FLAIR MR.
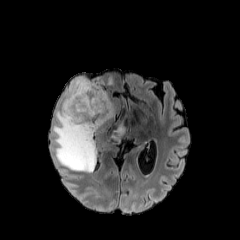
T1-weighted MR image.
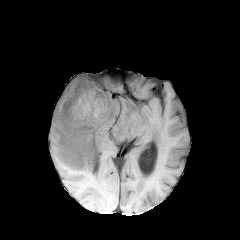
Post-contrast T1-weighted MR.
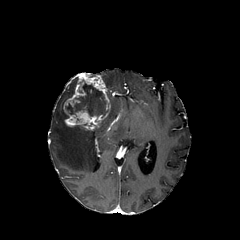
T2-weighted MR.
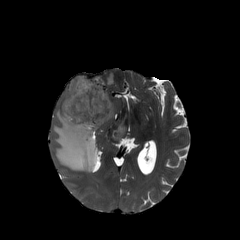
Brain
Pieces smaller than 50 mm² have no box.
necrotic tumor core: bbox=[66, 83, 107, 117] | enhancing tumor: bbox=[63, 73, 110, 130] | peritumoral edema: bbox=[53, 77, 98, 172]; bbox=[100, 100, 114, 126]; bbox=[103, 77, 112, 87]; bbox=[111, 124, 125, 143]